Brain | Image width 240 mm, 1.00 mm slice spacing | Axial slice | Slice 81/155
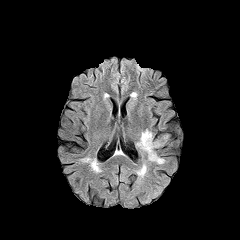
FLAIR MR image.
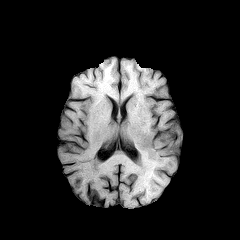
T1-weighted MRI.
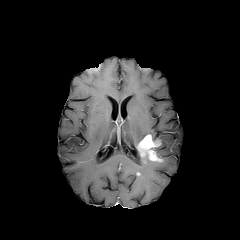
Post-contrast T1-weighted MRI.
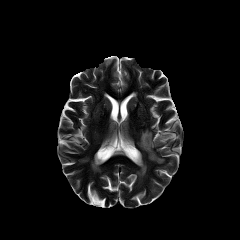
T2-weighted magnetic resonance.
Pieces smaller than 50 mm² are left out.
The 3 largest peritumoral edema regions are bounded by l=138, t=163, r=146, b=176; l=140, t=129, r=155, b=140; l=157, t=134, r=168, b=145. The largest enhancing tumor region appears at l=138, t=134, r=162, b=161.